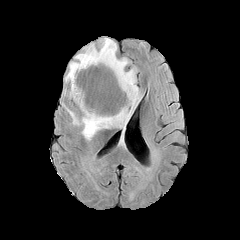
FLAIR MR.
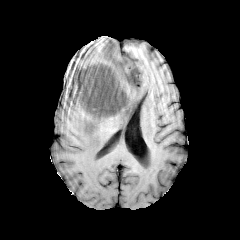
T1-weighted MR.
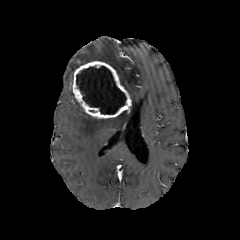
Same slice, post-contrast T1-weighted MR.
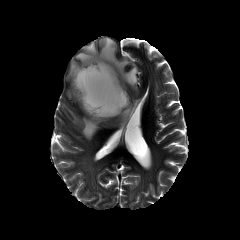
T2-weighted magnetic resonance.
Head. 240x240 px.
necrotic_tumor_core:
  - <box>76,66,126,114</box>
enhancing_tumor:
  - <box>71,61,131,118</box>
peritumoral_edema:
  - <box>63,37,141,140</box>